FLAIR MR image.
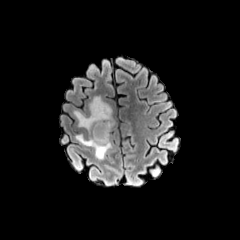
T1-weighted MR image.
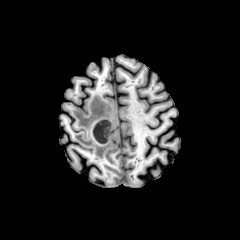
Post-contrast T1-weighted MRI.
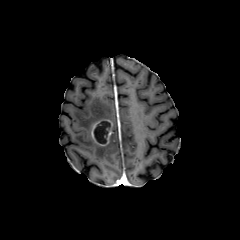
T2-weighted magnetic resonance.
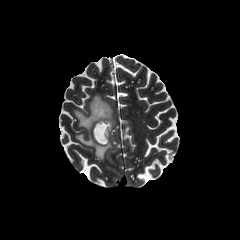
Image size 240x240
The necrotic tumor core is at [x1=94, y1=121, x2=110, y2=143]. The peritumoral edema is bounded by [x1=73, y1=96, x2=114, y2=159]. The enhancing tumor appears at [x1=91, y1=119, x2=112, y2=146].